FLAIR MRI.
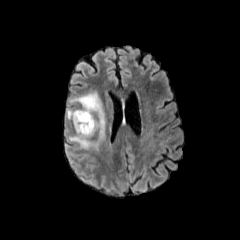
T1-weighted magnetic resonance.
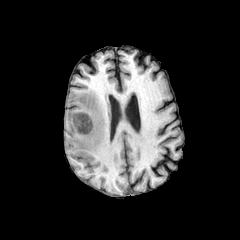
Post-contrast T1-weighted MR image.
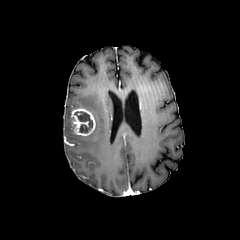
T2-weighted MR.
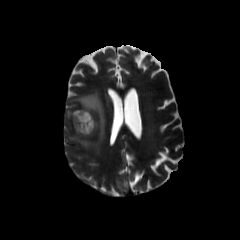
Brain | 240x240 px | Axial slice
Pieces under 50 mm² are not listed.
necrotic tumor core: (74, 111, 92, 132) | enhancing tumor: (71, 108, 95, 136) | peritumoral edema: (66, 108, 73, 122), (66, 90, 107, 154)